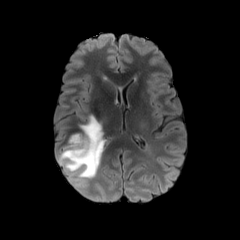
FLAIR MRI.
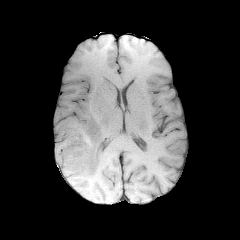
T1-weighted MR image.
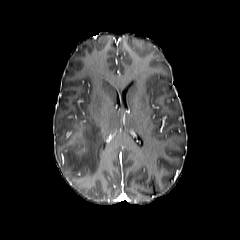
Same slice, post-contrast T1-weighted magnetic resonance.
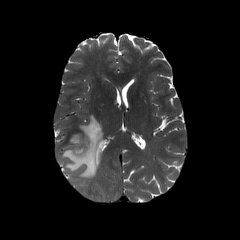
T2-weighted MR.
240x240 px | Axial slice
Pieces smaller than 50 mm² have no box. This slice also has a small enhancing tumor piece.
Findings:
- peritumoral edema: left=57, top=115, right=104, bottom=180